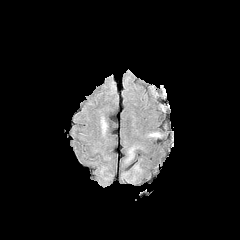
FLAIR MR.
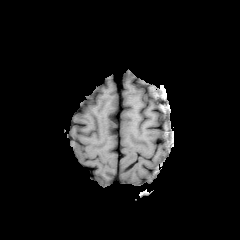
T1-weighted magnetic resonance.
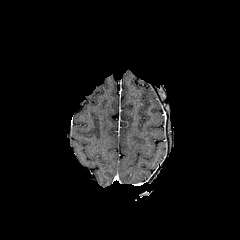
Same slice, post-contrast T1-weighted magnetic resonance.
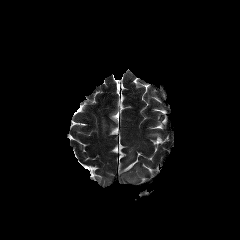
T2-weighted MRI.
Axial plane.
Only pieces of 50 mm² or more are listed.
The 2 largest peritumoral edema regions are bounded by x1=101, y1=117, x2=107, y2=134; x1=127, y1=146, x2=135, y2=161.